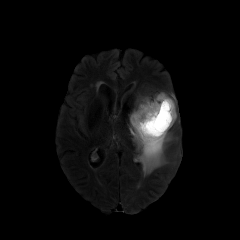
FLAIR magnetic resonance.
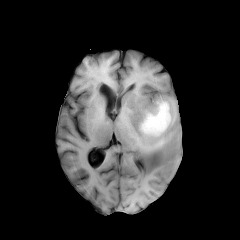
T1-weighted magnetic resonance.
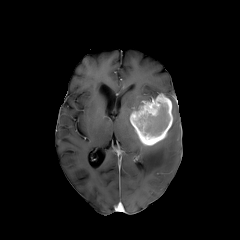
Post-contrast T1-weighted MR image of the same slice.
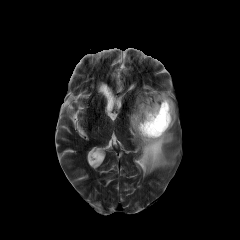
T2-weighted MR image of the same slice.
Axial view, Brain
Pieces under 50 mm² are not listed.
The enhancing tumor is located at x1=130 y1=93 x2=173 y2=145. The 2 largest peritumoral edema regions appear at x1=133 y1=96 x2=151 y2=110, x1=129 y1=91 x2=177 y2=176. The necrotic tumor core is bounded by x1=147 y1=106 x2=168 y2=133.